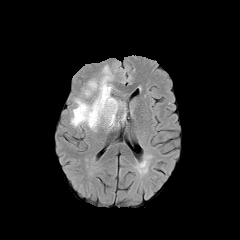
FLAIR MRI.
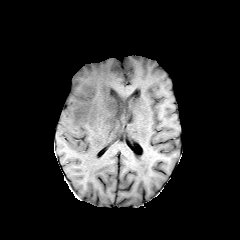
Same slice, T1-weighted MR image.
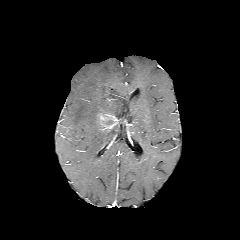
Post-contrast T1-weighted MR of the same slice.
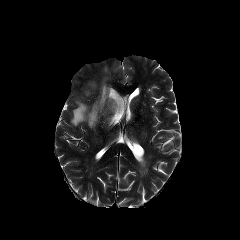
T2-weighted MR image.
Head
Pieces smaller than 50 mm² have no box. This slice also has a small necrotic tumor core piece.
- enhancing tumor: <bbox>98, 114, 118, 128</bbox>
- peritumoral edema: <bbox>70, 65, 125, 131</bbox>